FLAIR MR.
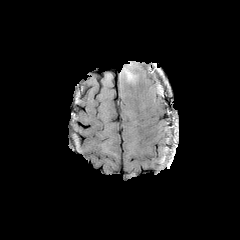
T1-weighted MR.
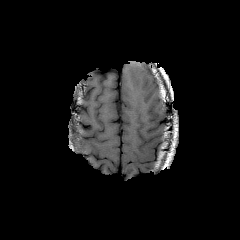
Post-contrast T1-weighted MR image.
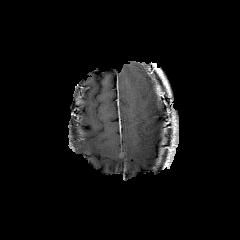
T2-weighted MR.
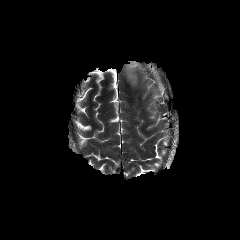
Brain.
peritumoral_edema:
  - l=125, t=63, r=136, b=81